Brain
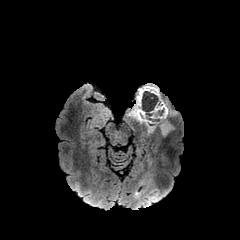
FLAIR MR.
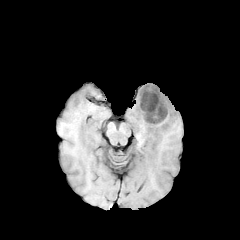
Same slice, T1-weighted magnetic resonance.
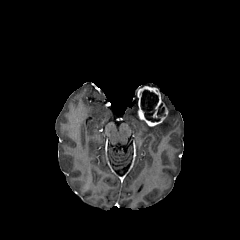
Post-contrast T1-weighted MRI of the same slice.
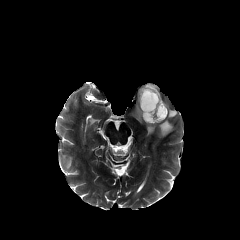
T2-weighted MR.
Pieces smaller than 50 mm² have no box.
<segmentation>
  <enhancing_tumor>137,86,168,126</enhancing_tumor>
  <peritumoral_edema>162,99,177,117; 127,97,173,136</peritumoral_edema>
  <necrotic_tumor_core>141,90,158,110; 145,107,165,121</necrotic_tumor_core>
</segmentation>